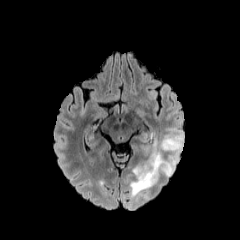
FLAIR MR.
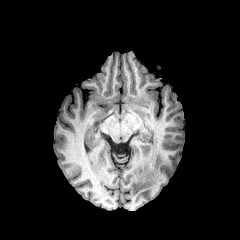
T1-weighted MR image of the same slice.
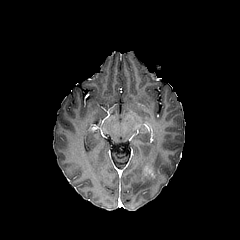
Post-contrast T1-weighted MR image of the same slice.
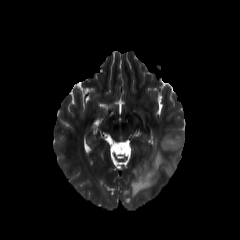
T2-weighted MR image of the same slice.
Image size 240x240; Head
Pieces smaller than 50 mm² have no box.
The enhancing tumor is located at [145,169,153,177]. The largest peritumoral edema region appears at [129,128,183,197].